Brain. Axial plane.
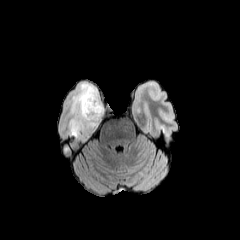
FLAIR magnetic resonance.
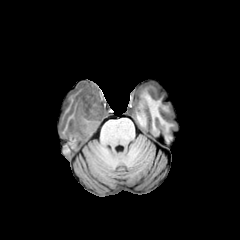
Same slice, T1-weighted magnetic resonance.
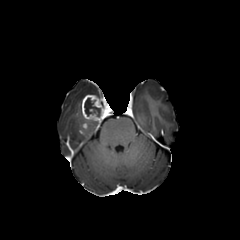
Post-contrast T1-weighted MR of the same slice.
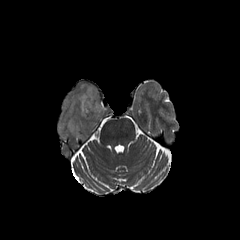
T2-weighted MR of the same slice.
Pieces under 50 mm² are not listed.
enhancing tumor: bounding box 81,95,104,122
necrotic tumor core: bounding box 84,98,100,116
peritumoral edema: bounding box 68,83,99,138